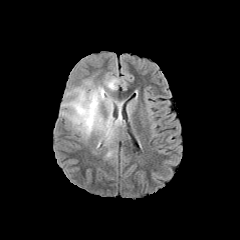
FLAIR MR image.
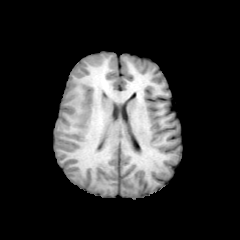
T1-weighted MRI of the same slice.
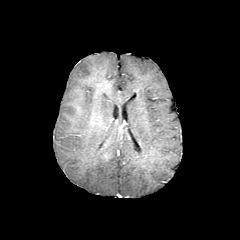
Post-contrast T1-weighted MRI of the same slice.
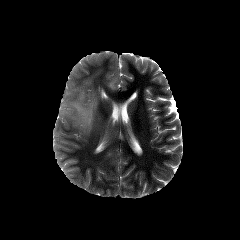
T2-weighted MRI.
240x240
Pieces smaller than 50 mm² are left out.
peritumoral_edema:
  - x1=128, y1=102, x2=136, y2=114
  - x1=106, y1=78, x2=117, y2=89
  - x1=62, y1=80, x2=122, y2=145